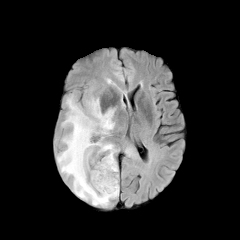
FLAIR magnetic resonance.
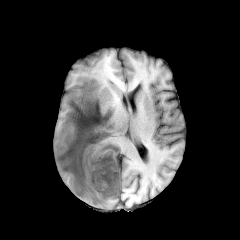
Same slice, T1-weighted MR.
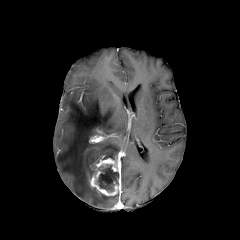
Same slice, post-contrast T1-weighted magnetic resonance.
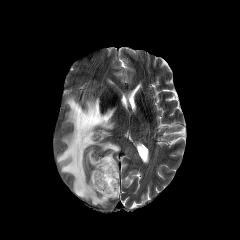
T2-weighted MRI.
Axial plane. Head.
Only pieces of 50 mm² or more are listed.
{"necrotic_tumor_core": ["<box>98,165,118,190</box>"], "enhancing_tumor": ["<box>89,157,120,195</box>"], "peritumoral_edema": ["<box>57,95,119,206</box>"]}